Head; Axial view; 240x240 px; Slice 99 of 155
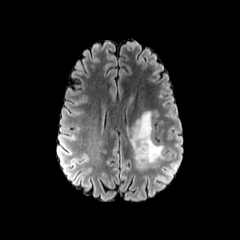
FLAIR MR.
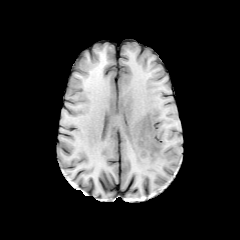
T1-weighted magnetic resonance.
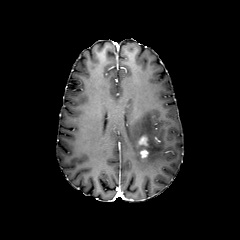
Post-contrast T1-weighted MR image.
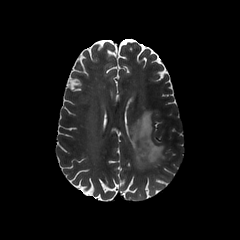
T2-weighted MRI of the same slice.
{
  "peritumoral_edema": [
    "(125, 111, 164, 171)"
  ],
  "enhancing_tumor": [
    "(140, 149, 148, 157)",
    "(138, 134, 148, 146)"
  ]
}